Brain; Slice index 83
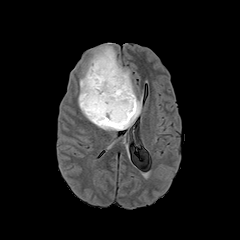
FLAIR magnetic resonance.
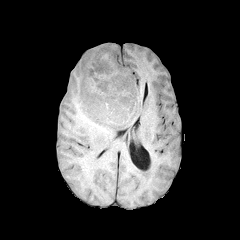
Same slice, T1-weighted MRI.
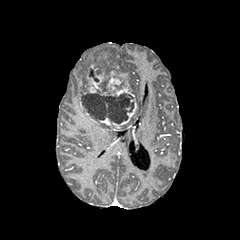
Post-contrast T1-weighted magnetic resonance of the same slice.
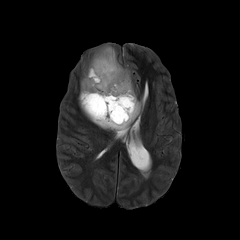
T2-weighted MRI of the same slice.
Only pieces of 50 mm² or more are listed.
enhancing tumor: bounding box [82,58,137,128]
peritumoral edema: bounding box [78,44,141,130]
necrotic tumor core: bounding box [94,81,107,93], [81,93,133,123], [89,69,98,82]